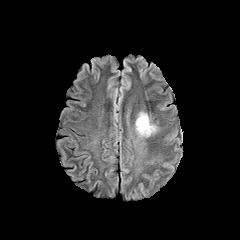
FLAIR MR image.
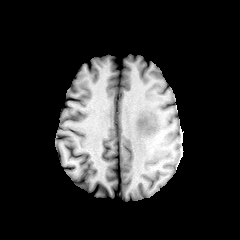
T1-weighted MR image.
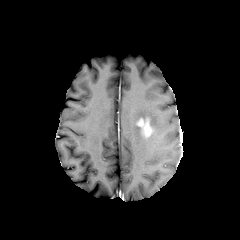
Post-contrast T1-weighted magnetic resonance.
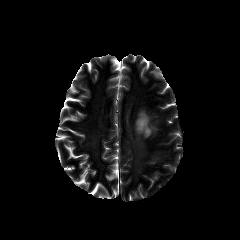
T2-weighted MR image.
240x240. Brain.
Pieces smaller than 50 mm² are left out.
<segmentation>
  <peritumoral_edema>136:112:149:136</peritumoral_edema>
  <enhancing_tumor>137:118:152:136</enhancing_tumor>
</segmentation>